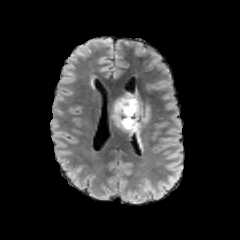
FLAIR MRI.
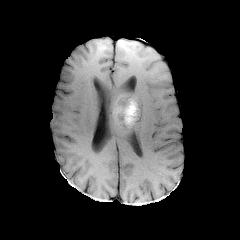
T1-weighted MR image.
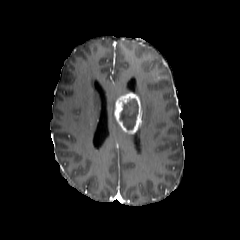
Post-contrast T1-weighted magnetic resonance.
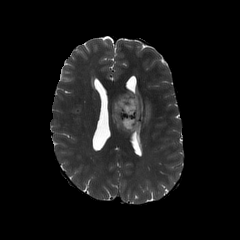
T2-weighted MR image of the same slice.
Head. 240x240.
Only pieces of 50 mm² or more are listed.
necrotic tumor core — rect(120, 99, 138, 129)
enhancing tumor — rect(114, 93, 142, 133)
peritumoral edema — rect(142, 105, 150, 123); rect(130, 124, 141, 143); rect(112, 102, 120, 128)